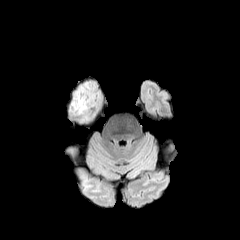
FLAIR MR.
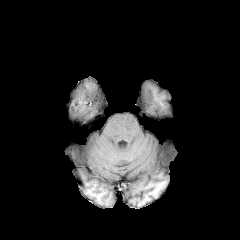
T1-weighted MR image of the same slice.
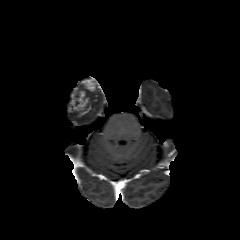
Post-contrast T1-weighted MRI.
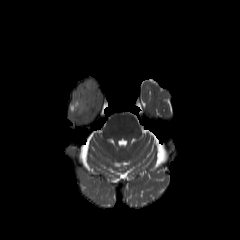
T2-weighted MRI of the same slice.
Axial plane, Head
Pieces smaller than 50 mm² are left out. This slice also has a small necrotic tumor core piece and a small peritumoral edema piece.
<segmentation>
  <enhancing_tumor><box>71,80,95,113</box></enhancing_tumor>
</segmentation>